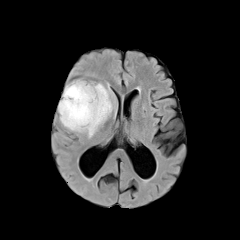
FLAIR magnetic resonance.
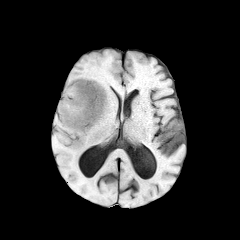
T1-weighted magnetic resonance.
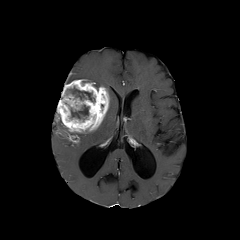
Post-contrast T1-weighted MR of the same slice.
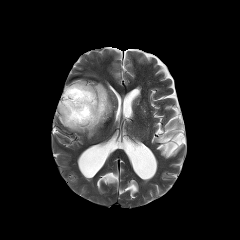
T2-weighted MR.
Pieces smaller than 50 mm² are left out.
enhancing tumor at 57, 79, 109, 132
necrotic tumor core at 71, 105, 88, 118; 69, 87, 91, 100
peritumoral edema at 101, 84, 113, 124; 79, 127, 98, 138